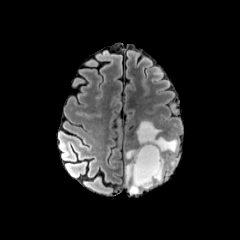
FLAIR MRI.
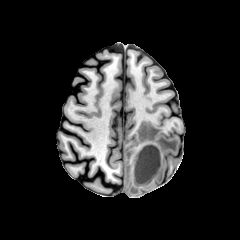
T1-weighted MR.
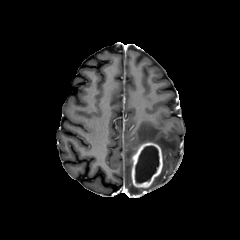
Same slice, post-contrast T1-weighted MR image.
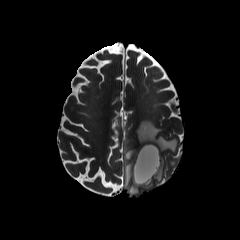
T2-weighted MR.
240x240, Head
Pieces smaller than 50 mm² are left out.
enhancing tumor = x1=131 y1=142 x2=162 y2=188
necrotic tumor core = x1=135 y1=146 x2=159 y2=183
peritumoral edema = x1=125 y1=121 x2=177 y2=194